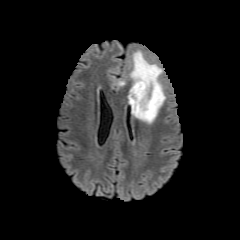
FLAIR magnetic resonance.
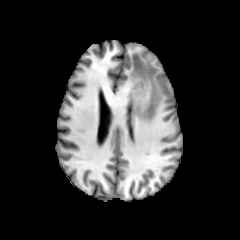
Same slice, T1-weighted MR image.
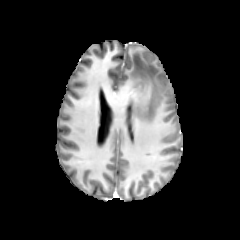
Same slice, post-contrast T1-weighted magnetic resonance.
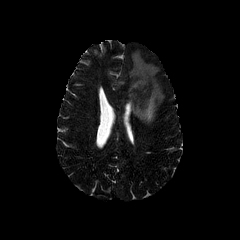
T2-weighted magnetic resonance of the same slice.
Brain, Axial slice
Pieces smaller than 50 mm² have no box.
The enhancing tumor is located at x1=130 y1=86 x2=142 y2=102. The largest peritumoral edema region lies within x1=129 y1=51 x2=165 y2=123.